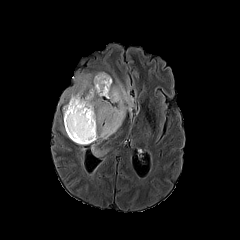
FLAIR magnetic resonance.
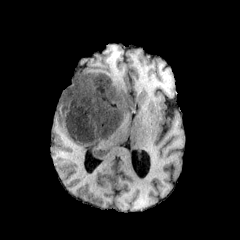
T1-weighted MR image of the same slice.
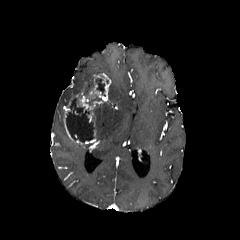
Post-contrast T1-weighted MRI of the same slice.
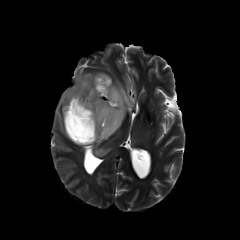
T2-weighted MR of the same slice.
Head, Image size 240x240
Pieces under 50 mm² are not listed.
peritumoral edema: 93:149:101:156, 59:73:92:104, 95:74:134:140
enhancing tumor: 63:73:111:145
necrotic tumor core: 66:98:93:142, 95:78:104:94